FLAIR magnetic resonance.
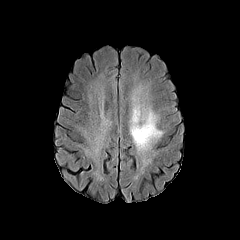
T1-weighted MR image.
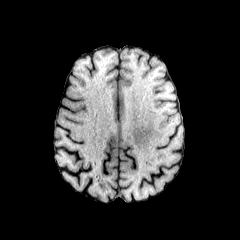
Post-contrast T1-weighted MRI.
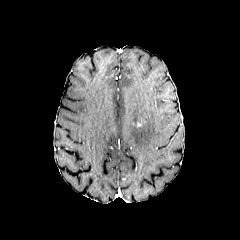
T2-weighted MRI.
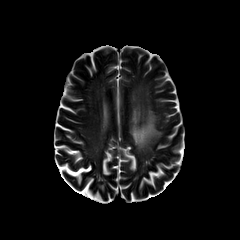
240x240. Head.
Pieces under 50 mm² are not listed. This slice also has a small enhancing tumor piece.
The largest peritumoral edema region is bounded by (130,93,162,152).